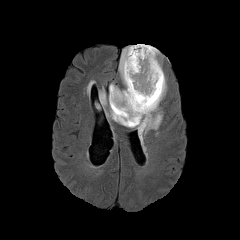
FLAIR magnetic resonance.
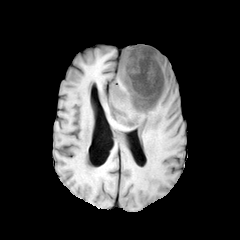
T1-weighted MR image of the same slice.
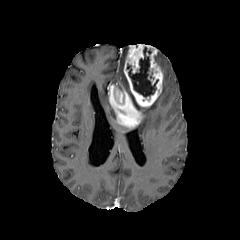
Same slice, post-contrast T1-weighted MR image.
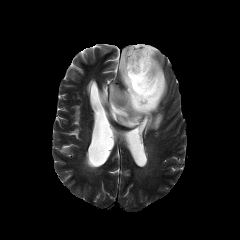
T2-weighted MR image.
Head.
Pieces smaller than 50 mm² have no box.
The largest necrotic tumor core region is at <bbox>127, 47, 158, 97</bbox>. The 5 largest peritumoral edema regions are bounded by <bbox>119, 46, 128, 90</bbox>, <bbox>106, 103, 116, 122</bbox>, <bbox>135, 74, 167, 141</bbox>, <bbox>99, 90, 107, 107</bbox>, <bbox>156, 50, 162, 70</bbox>. The enhancing tumor is bounded by <bbox>109, 44, 163, 127</bbox>.